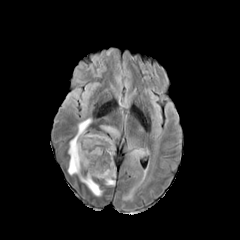
FLAIR magnetic resonance.
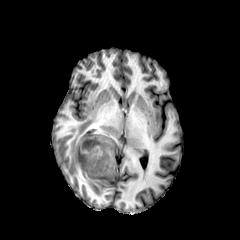
T1-weighted MR image.
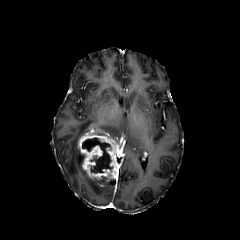
Same slice, post-contrast T1-weighted MRI.
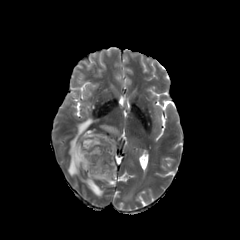
T2-weighted magnetic resonance of the same slice.
Brain. Axial plane.
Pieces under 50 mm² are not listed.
The largest necrotic tumor core region is bounded by [x1=82, y1=138, x2=112, y2=172]. The 3 largest peritumoral edema regions appear at [x1=101, y1=125, x2=118, y2=136], [x1=68, y1=118, x2=103, y2=196], [x1=104, y1=178, x2=114, y2=185]. The enhancing tumor appears at [x1=78, y1=135, x2=117, y2=181].